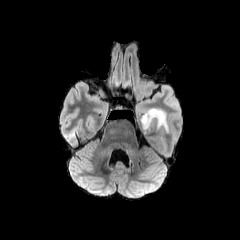
FLAIR MRI.
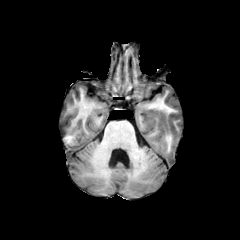
T1-weighted magnetic resonance.
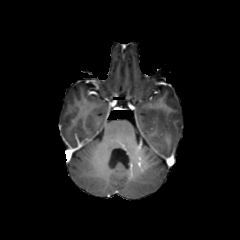
Post-contrast T1-weighted MR of the same slice.
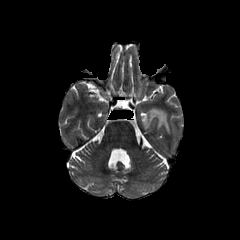
T2-weighted MRI of the same slice.
Head
peritumoral edema: x1=140, y1=107, x2=168, y2=132